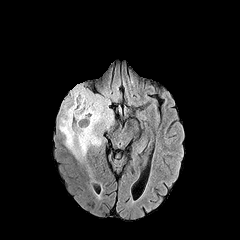
FLAIR MR image.
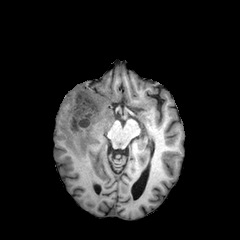
T1-weighted magnetic resonance of the same slice.
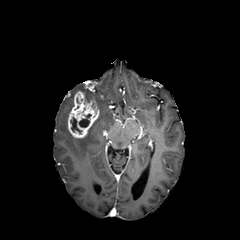
Post-contrast T1-weighted MR image.
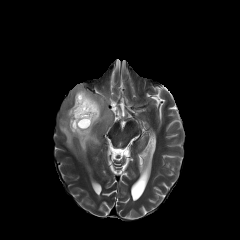
T2-weighted MR of the same slice.
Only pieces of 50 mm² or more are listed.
<segmentation>
  <necrotic_tumor_core>(left=79, top=114, right=91, bottom=127), (left=70, top=117, right=81, bottom=133)</necrotic_tumor_core>
  <peritumoral_edema>(left=59, top=84, right=113, bottom=160)</peritumoral_edema>
  <enhancing_tumor>(left=68, top=91, right=99, bottom=138)</enhancing_tumor>
</segmentation>